FLAIR magnetic resonance.
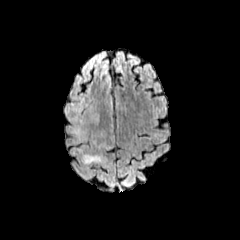
T1-weighted MR image.
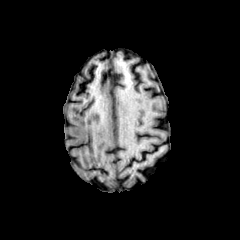
Post-contrast T1-weighted MR image.
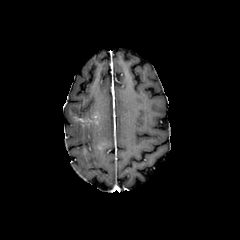
T2-weighted MR.
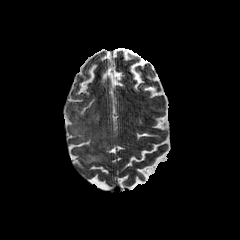
Image size 240x240, Axial view
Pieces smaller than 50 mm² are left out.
peritumoral edema — (x1=70, y1=124, x2=85, y2=141), (x1=82, y1=154, x2=102, y2=164)
enhancing tumor — (x1=74, y1=112, x2=99, y2=125)